Brain
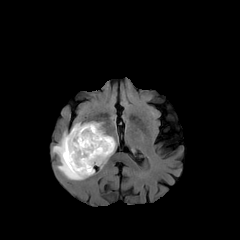
FLAIR MR.
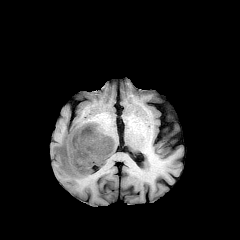
Same slice, T1-weighted MR.
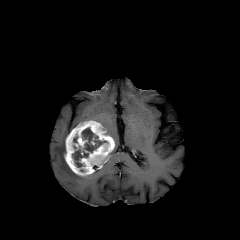
Post-contrast T1-weighted magnetic resonance of the same slice.
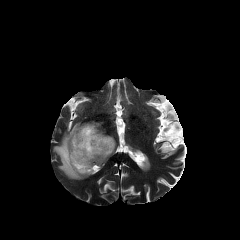
T2-weighted MR image.
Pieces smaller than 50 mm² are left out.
The enhancing tumor is bounded by region(64, 121, 114, 176). The largest peritumoral edema region lies within region(52, 131, 94, 180). The largest necrotic tumor core region is at region(72, 128, 106, 167).